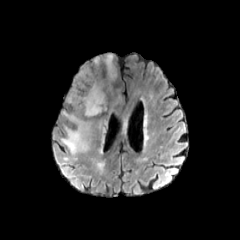
FLAIR magnetic resonance.
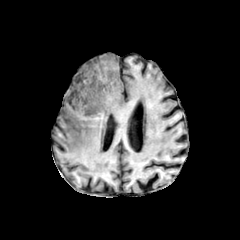
T1-weighted MR image.
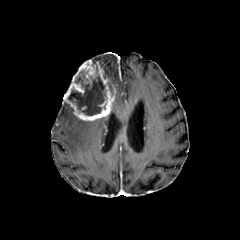
Post-contrast T1-weighted MR.
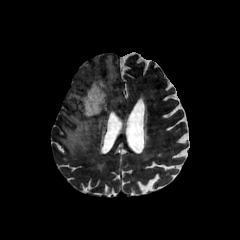
T2-weighted MR.
Head. Axial view.
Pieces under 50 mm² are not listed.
enhancing tumor — 64:60:115:121
peritumoral edema — 98:120:104:132, 104:54:116:83, 61:111:92:155
necrotic tumor core — 68:75:105:115